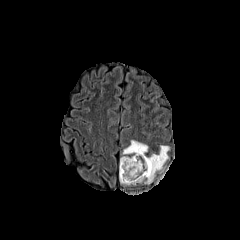
FLAIR MRI.
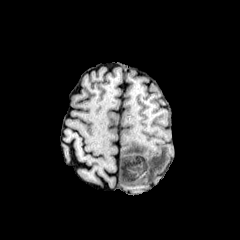
T1-weighted MR.
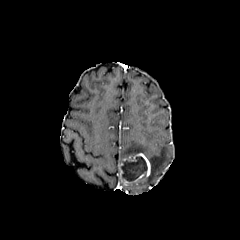
Same slice, post-contrast T1-weighted MRI.
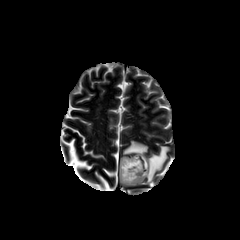
T2-weighted MR image.
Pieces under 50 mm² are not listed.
enhancing tumor: (119,153,150,186)
peritumoral edema: (120,140,148,161), (139,145,169,183)
necrotic tumor core: (121,157,147,181)